FLAIR magnetic resonance.
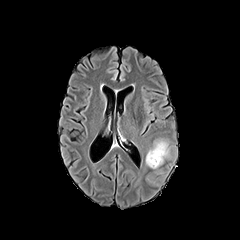
T1-weighted MRI.
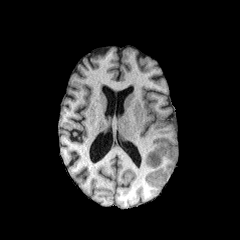
Post-contrast T1-weighted MR.
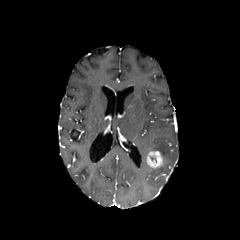
T2-weighted MR image.
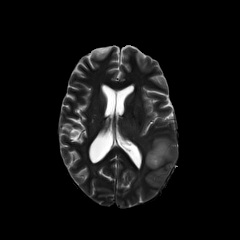
Axial view
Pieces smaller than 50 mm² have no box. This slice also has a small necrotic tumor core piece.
Segmented structures:
* enhancing tumor: <bbox>147, 151, 162, 168</bbox>
* peritumoral edema: <bbox>150, 141, 168, 161</bbox>